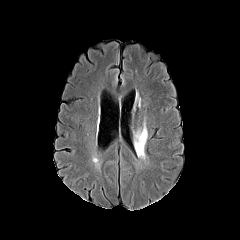
FLAIR magnetic resonance.
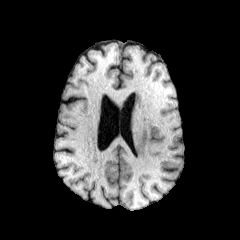
T1-weighted MRI.
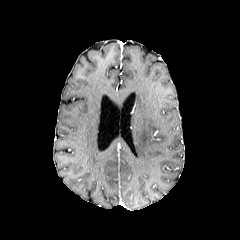
Post-contrast T1-weighted MR image.
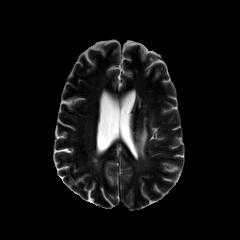
T2-weighted MRI.
Image size 240x240. Head.
peritumoral edema: bounding box 134, 123, 147, 159